Head; Slice index 83; Axial plane
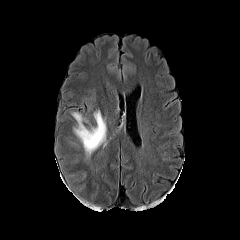
FLAIR magnetic resonance.
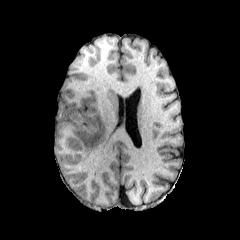
T1-weighted MRI.
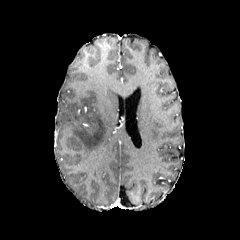
Post-contrast T1-weighted MRI of the same slice.
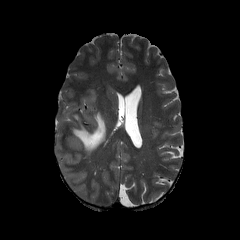
Same slice, T2-weighted MR.
peritumoral edema: 71 108 106 155